Axial view; Head
FLAIR magnetic resonance.
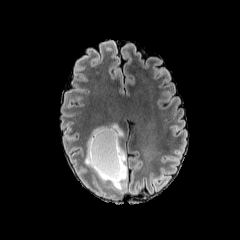
T1-weighted MR.
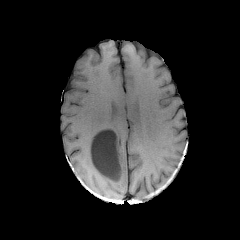
Post-contrast T1-weighted MR.
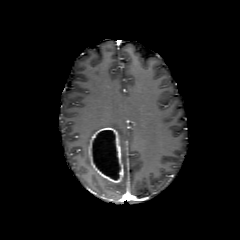
T2-weighted magnetic resonance.
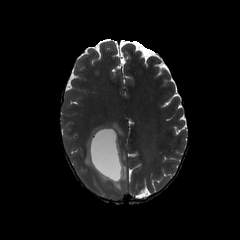
- enhancing tumor: box(88, 127, 123, 182)
- peritumoral edema: box(84, 123, 123, 181); box(111, 146, 126, 190)
- necrotic tumor core: box(92, 130, 120, 179)